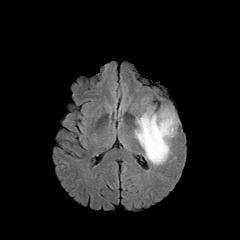
FLAIR MR image.
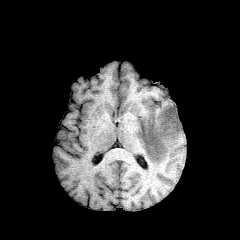
Same slice, T1-weighted magnetic resonance.
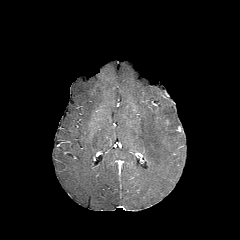
Post-contrast T1-weighted magnetic resonance.
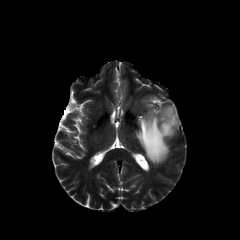
T2-weighted MRI.
Brain, Axial slice, Image size 240x240
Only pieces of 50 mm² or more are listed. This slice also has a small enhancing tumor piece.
The peritumoral edema is located at [x1=135, y1=106, x2=178, y2=165].